FLAIR MR.
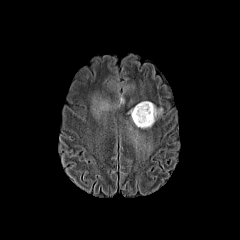
T1-weighted MR.
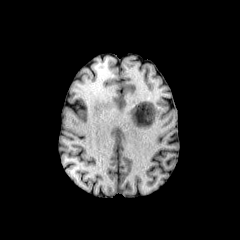
Post-contrast T1-weighted magnetic resonance.
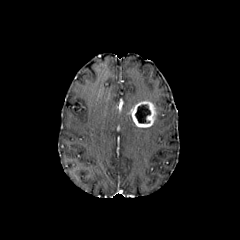
T2-weighted MR image.
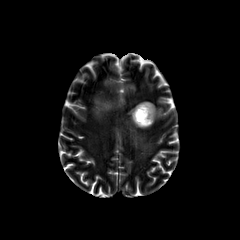
Brain
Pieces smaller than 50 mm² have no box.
enhancing_tumor:
  - box(130, 101, 156, 127)
necrotic_tumor_core:
  - box(135, 105, 150, 123)
peritumoral_edema:
  - box(96, 101, 110, 113)